FLAIR MR.
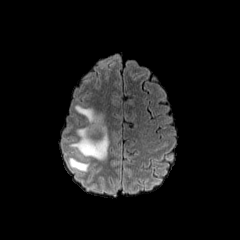
T1-weighted magnetic resonance.
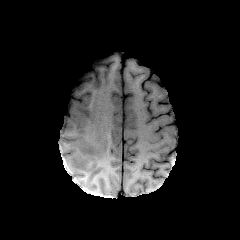
Post-contrast T1-weighted magnetic resonance.
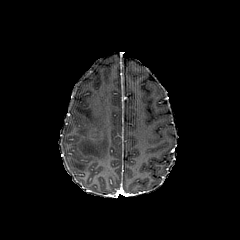
T2-weighted MR.
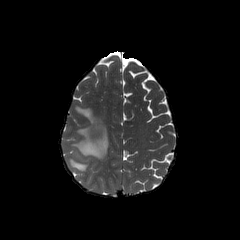
Head.
peritumoral edema: (x1=69, y1=158, x2=89, y2=171), (x1=70, y1=105, x2=109, y2=160)